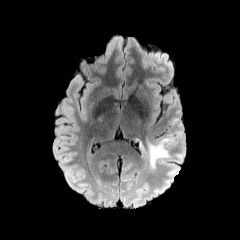
FLAIR MR image.
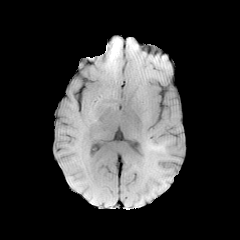
T1-weighted magnetic resonance of the same slice.
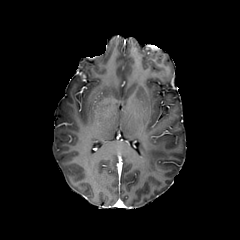
Post-contrast T1-weighted magnetic resonance.
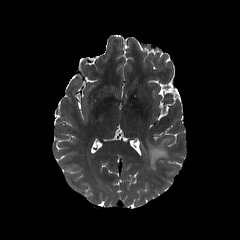
Same slice, T2-weighted MRI.
Head, 240x240
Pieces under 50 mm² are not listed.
peritumoral edema = {"x1": 147, "y1": 137, "x2": 173, "y2": 169}